Slice index 87 | Head | Axial slice
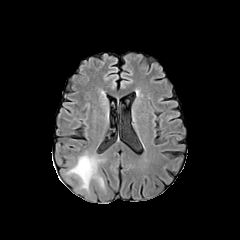
FLAIR MR.
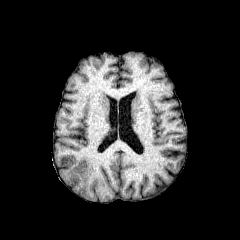
Same slice, T1-weighted MRI.
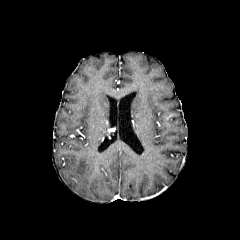
Post-contrast T1-weighted MRI.
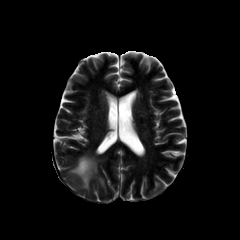
Same slice, T2-weighted MR.
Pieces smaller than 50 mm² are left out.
peritumoral edema = 69,154,97,187